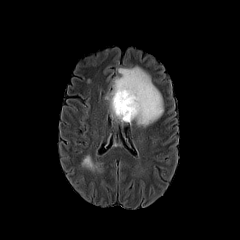
FLAIR MRI.
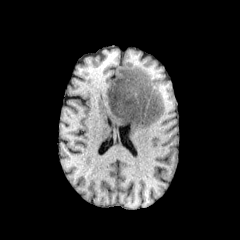
T1-weighted magnetic resonance.
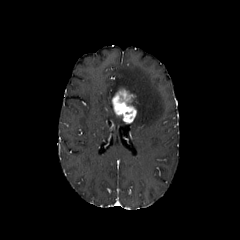
Post-contrast T1-weighted magnetic resonance.
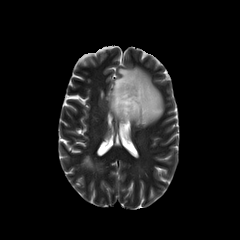
T2-weighted MRI of the same slice.
Axial slice.
peritumoral edema: 106:66:163:128, 81:154:103:173
enhancing tumor: 112:88:136:123